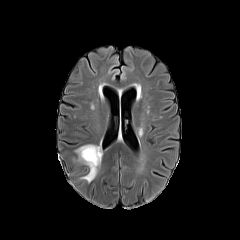
FLAIR MRI.
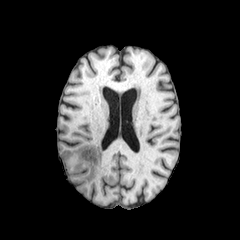
T1-weighted magnetic resonance.
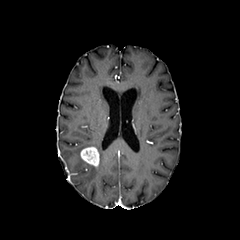
Post-contrast T1-weighted MR.
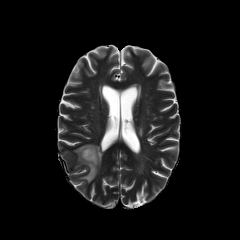
T2-weighted magnetic resonance of the same slice.
Axial view
The enhancing tumor lies within x1=80 y1=146 x2=99 y2=166. The peritumoral edema is bounded by x1=75 y1=144 x2=102 y2=182.